Axial view | 240x240 px
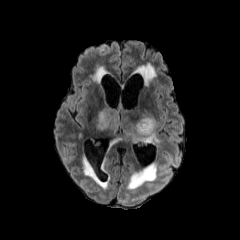
FLAIR magnetic resonance.
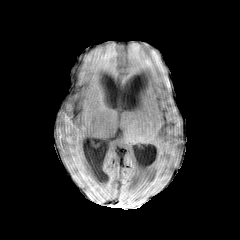
T1-weighted MRI.
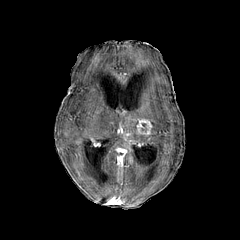
Same slice, post-contrast T1-weighted magnetic resonance.
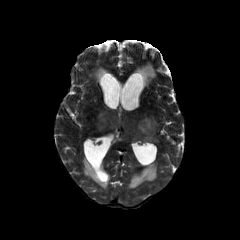
Same slice, T2-weighted MR.
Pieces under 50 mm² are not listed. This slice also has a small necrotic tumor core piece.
* peritumoral edema: bbox=[96, 108, 158, 144]
* enhancing tumor: bbox=[135, 118, 151, 137]